FLAIR MR.
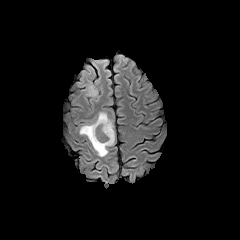
T1-weighted MR image.
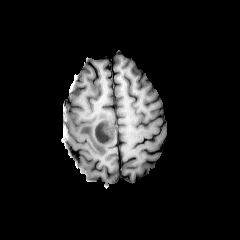
Post-contrast T1-weighted MR image.
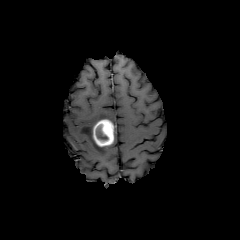
T2-weighted MR.
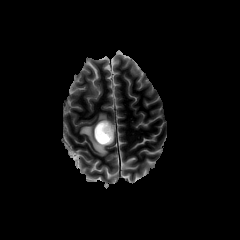
Brain. 240x240.
peritumoral edema: x1=75, y1=65, x2=97, y2=96; x1=79, y1=112, x2=115, y2=156 | enhancing tumor: x1=93, y1=119, x2=114, y2=146 | necrotic tumor core: x1=97, y1=128, x2=107, y2=139